FLAIR magnetic resonance.
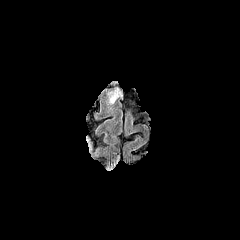
T1-weighted magnetic resonance.
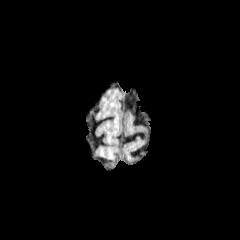
Post-contrast T1-weighted MR image.
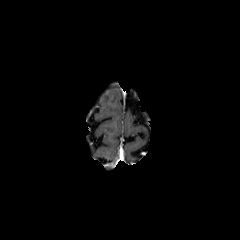
T2-weighted magnetic resonance.
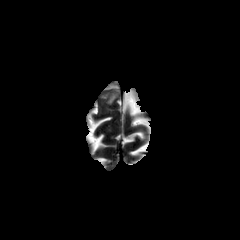
Axial plane; Head
Findings:
- peritumoral edema: rect(108, 89, 120, 103)